Brain
FLAIR MR image.
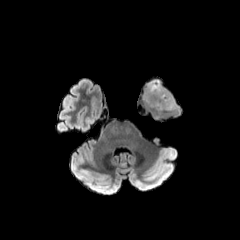
T1-weighted MR.
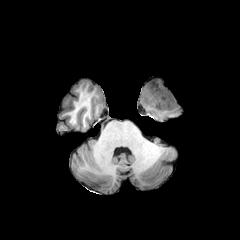
Post-contrast T1-weighted MRI.
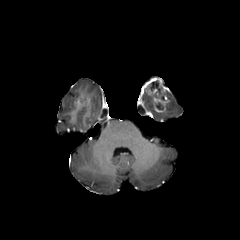
T2-weighted MR image.
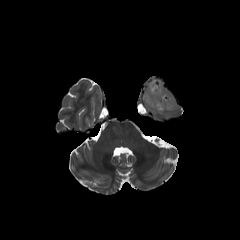
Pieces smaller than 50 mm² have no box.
peritumoral edema at (x1=142, y1=89, x2=153, y2=109), (x1=166, y1=94, x2=177, y2=110)
necrotic tumor core at (x1=149, y1=81, x2=160, y2=95)
enhancing tumor at (x1=144, y1=77, x2=170, y2=112)